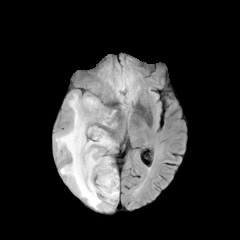
FLAIR magnetic resonance.
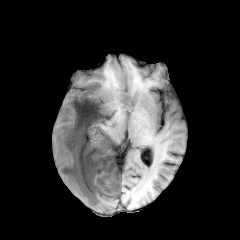
T1-weighted MR.
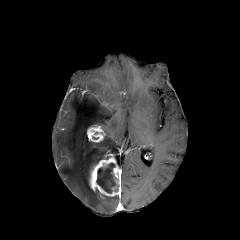
Post-contrast T1-weighted MR image of the same slice.
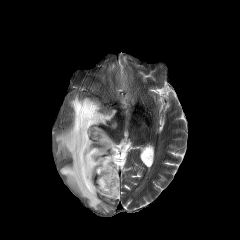
T2-weighted magnetic resonance.
Brain
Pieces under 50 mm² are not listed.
enhancing_tumor:
  - [89, 154, 120, 196]
  - [87, 125, 105, 142]
necrotic_tumor_core:
  - [96, 163, 115, 193]
peritumoral_edema:
  - [54, 93, 118, 211]